240x240.
FLAIR magnetic resonance.
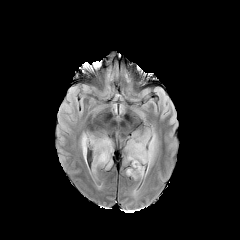
T1-weighted MR image.
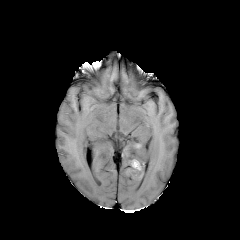
Post-contrast T1-weighted MR.
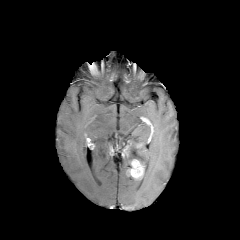
T2-weighted magnetic resonance.
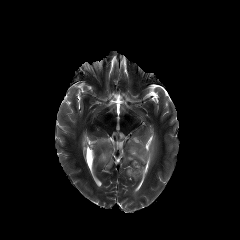
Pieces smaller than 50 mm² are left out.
enhancing_tumor:
  - 128 159 144 178
peritumoral_edema:
  - 126 130 156 176
  - 81 134 87 160
  - 87 135 112 172